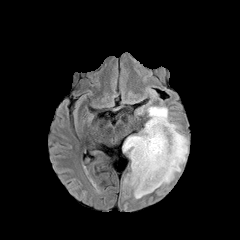
FLAIR MR.
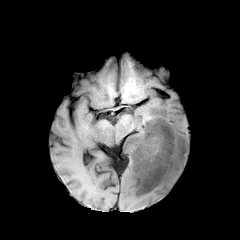
T1-weighted MRI of the same slice.
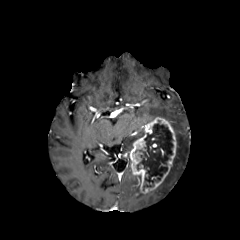
Post-contrast T1-weighted magnetic resonance of the same slice.
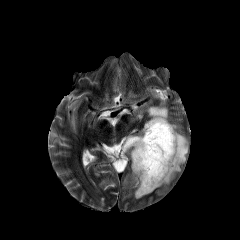
T2-weighted MR.
240x240
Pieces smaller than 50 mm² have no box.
<segmentation>
  <necrotic_tumor_core>(left=137, top=123, right=173, bottom=183)</necrotic_tumor_core>
  <peritumoral_edema>(left=123, top=170, right=147, bottom=198), (left=123, top=129, right=144, bottom=154), (left=159, top=123, right=188, bottom=186), (left=147, top=106, right=169, bottom=121)</peritumoral_edema>
  <enhancing_tumor>(left=129, top=117, right=177, bottom=193)</enhancing_tumor>
</segmentation>